Axial slice | Image width 240 mm, 1.00 mm slice spacing | Head
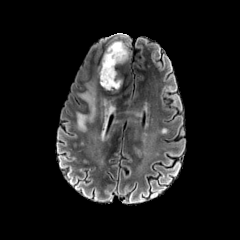
FLAIR MR.
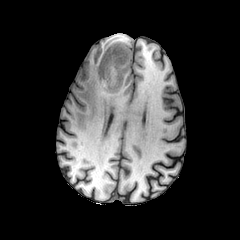
T1-weighted MR image of the same slice.
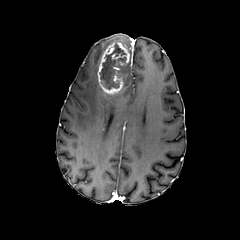
Same slice, post-contrast T1-weighted magnetic resonance.
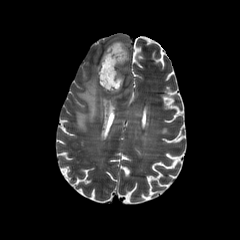
T2-weighted MRI.
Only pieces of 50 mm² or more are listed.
{"necrotic_tumor_core": ["box(100, 45, 125, 89)"], "peritumoral_edema": ["box(76, 81, 115, 132)"], "enhancing_tumor": ["box(97, 42, 129, 94)"]}